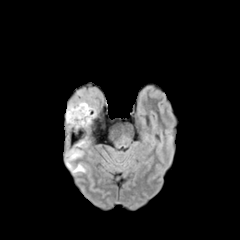
FLAIR MRI.
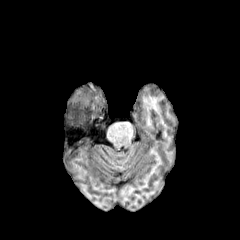
T1-weighted MR image.
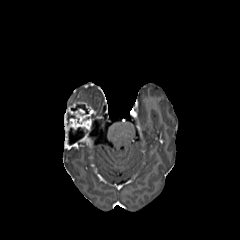
Post-contrast T1-weighted MR image.
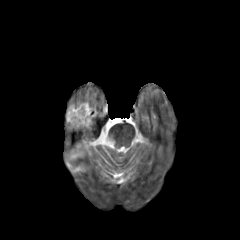
T2-weighted MRI.
Head
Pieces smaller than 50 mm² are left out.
2 enhancing tumor regions are located at x1=80 y1=135 x2=89 y2=143, x1=64 y1=101 x2=96 y2=144. The 2 largest peritumoral edema regions are located at x1=69 y1=151 x2=80 y2=160, x1=66 y1=162 x2=84 y2=173. The largest necrotic tumor core region is at x1=71 y1=104 x2=88 y2=113.